Image size 240x240, Head, Axial view
FLAIR magnetic resonance.
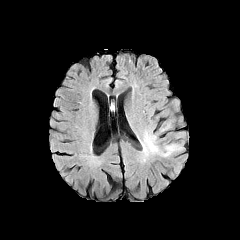
T1-weighted MRI.
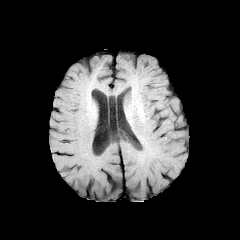
Post-contrast T1-weighted MR image.
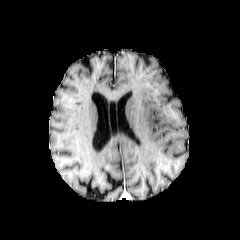
T2-weighted MR.
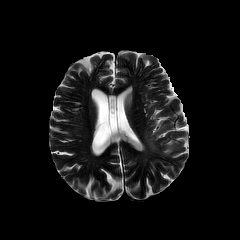
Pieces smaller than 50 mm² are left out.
peritumoral edema: 145, 133, 157, 150